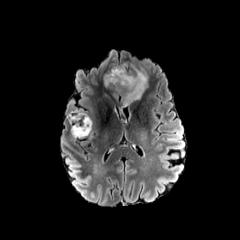
FLAIR MR.
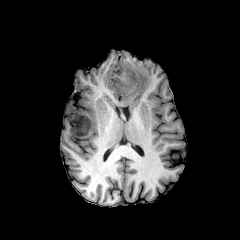
T1-weighted MR.
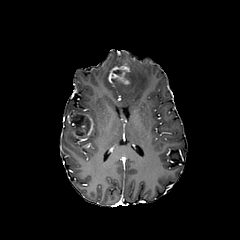
Post-contrast T1-weighted MR image.
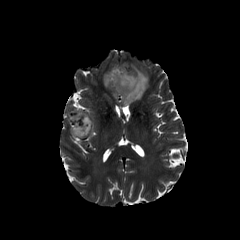
T2-weighted magnetic resonance.
240x240. Axial plane.
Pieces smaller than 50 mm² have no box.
peritumoral edema: bounding box [115, 67, 148, 106], [104, 74, 110, 86]
necrotic tumor core: bounding box [70, 114, 90, 136]
enhancing tumor: bounding box [67, 112, 93, 137], [108, 64, 129, 85]